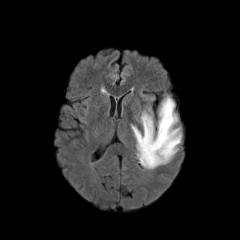
FLAIR MRI.
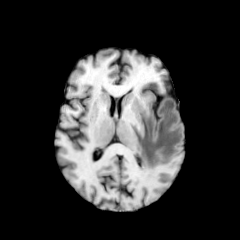
T1-weighted MRI.
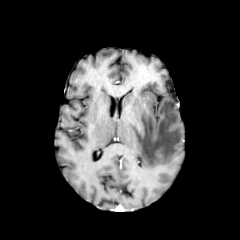
Same slice, post-contrast T1-weighted MR image.
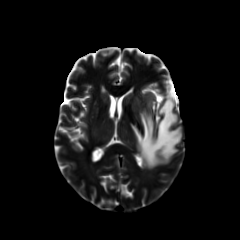
T2-weighted MR image.
240x240. Brain.
<segmentation>
  <peritumoral_edema>left=133, top=98, right=182, bottom=167</peritumoral_edema>
</segmentation>